FLAIR MR image.
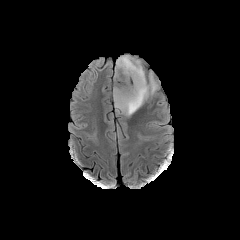
T1-weighted magnetic resonance.
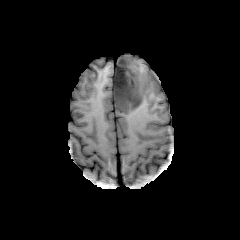
Post-contrast T1-weighted MR image.
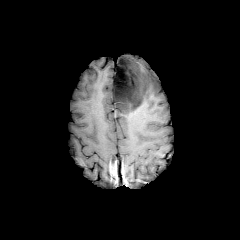
T2-weighted magnetic resonance.
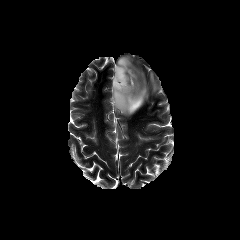
Head.
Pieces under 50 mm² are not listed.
<segmentation>
  <necrotic_tumor_core>[113,58,144,109]</necrotic_tumor_core>
  <peritumoral_edema>[114,55,158,116]</peritumoral_edema>
</segmentation>